FLAIR MR image.
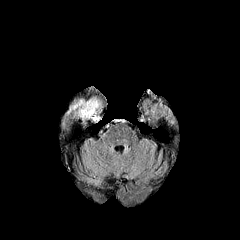
T1-weighted MRI.
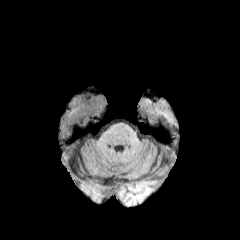
Post-contrast T1-weighted MRI.
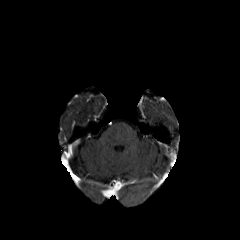
T2-weighted MRI.
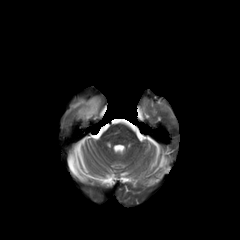
Head, Axial view
peritumoral edema = bbox(71, 96, 101, 122)